Image width 240 mm, Slice index 82, Axial plane, Head
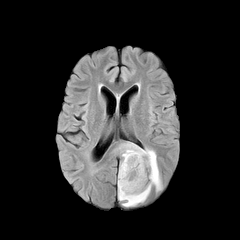
FLAIR MRI.
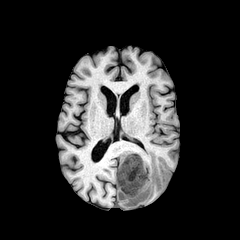
T1-weighted MR image.
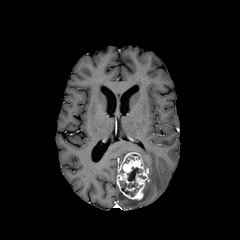
Post-contrast T1-weighted magnetic resonance of the same slice.
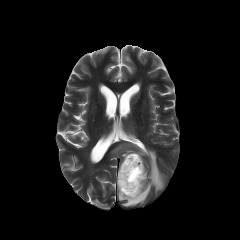
Same slice, T2-weighted MR image.
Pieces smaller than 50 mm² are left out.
Annotated regions:
• enhancing tumor: [x1=117, y1=152, x2=148, y2=199]
• peritumoral edema: [x1=118, y1=143, x2=162, y2=206]
• necrotic tumor core: [x1=120, y1=181, x2=136, y2=196], [x1=128, y1=167, x2=141, y2=181]